240x240, Axial slice, Head, Image width 240 mm, 1.00 mm slice spacing
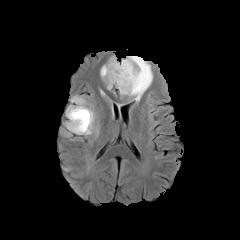
FLAIR MRI.
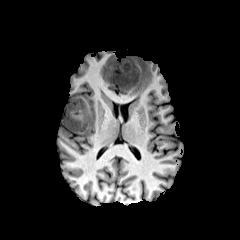
T1-weighted MR.
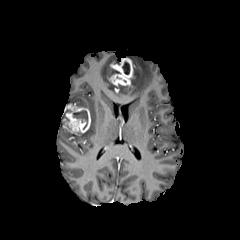
Post-contrast T1-weighted MRI of the same slice.
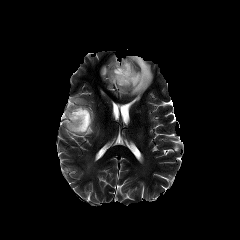
T2-weighted MRI of the same slice.
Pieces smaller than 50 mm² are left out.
The 3 largest peritumoral edema regions are bounded by x1=116 y1=56 x2=153 y2=101, x1=100 y1=56 x2=119 y2=89, x1=70 y1=96 x2=94 y2=134. The 3 largest necrotic tumor core regions are bounded by x1=122 y1=62 x2=129 y2=74, x1=108 y1=67 x2=120 y2=77, x1=73 y1=110 x2=87 y2=123. 2 enhancing tumor regions appear at x1=65 y1=104 x2=90 y2=132, x1=108 y1=58 x2=134 y2=86.